FLAIR magnetic resonance.
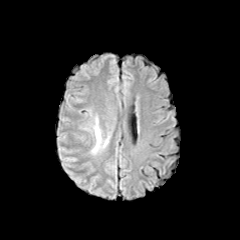
T1-weighted magnetic resonance.
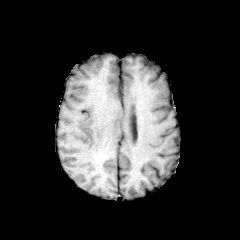
Post-contrast T1-weighted MR.
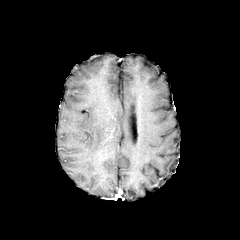
T2-weighted MR.
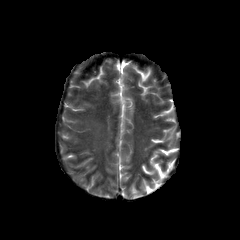
240x240
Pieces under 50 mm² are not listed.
peritumoral_edema:
  - <box>92,119,100,152</box>